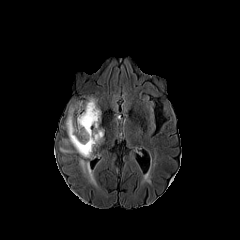
FLAIR magnetic resonance.
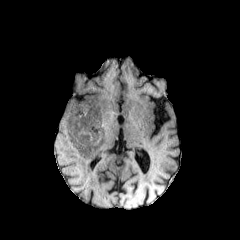
Same slice, T1-weighted MRI.
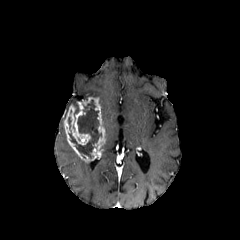
Post-contrast T1-weighted MR image.
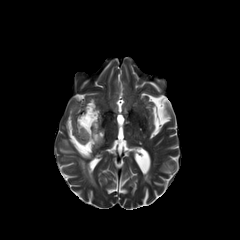
Same slice, T2-weighted MR image.
Axial slice
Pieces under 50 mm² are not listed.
necrotic_tumor_core:
  - x1=69 y1=100 x2=101 y2=158
enhancing_tumor:
  - x1=64 y1=97 x2=104 y2=161
peritumoral_edema:
  - x1=78 y1=157 x2=96 y2=185
  - x1=60 y1=139 x2=74 y2=153